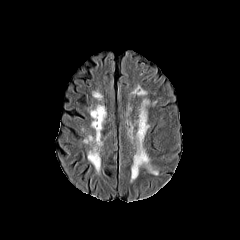
FLAIR MR.
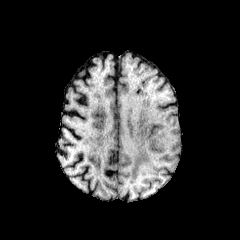
Same slice, T1-weighted MR.
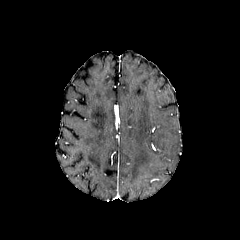
Post-contrast T1-weighted MR image of the same slice.
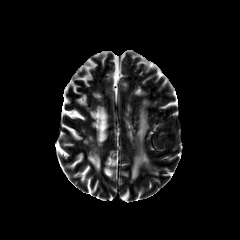
T2-weighted MRI of the same slice.
Head
{"peritumoral_edema": ["131:100:158:181"]}